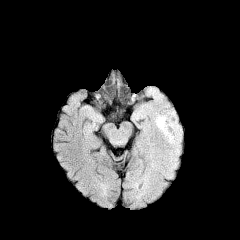
FLAIR magnetic resonance.
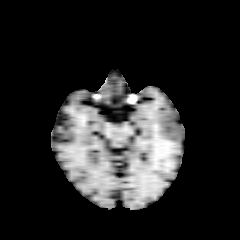
T1-weighted MR image.
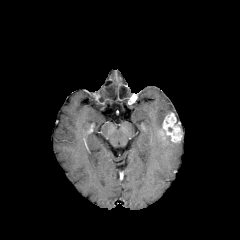
Same slice, post-contrast T1-weighted magnetic resonance.
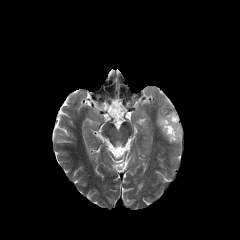
Same slice, T2-weighted magnetic resonance.
Brain
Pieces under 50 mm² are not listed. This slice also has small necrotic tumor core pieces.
The enhancing tumor lies within x1=159, y1=112, x2=182, y2=142. The largest peritumoral edema region appears at x1=156, y1=115, x2=165, y2=129.